Image size 240x240, Head
FLAIR MRI.
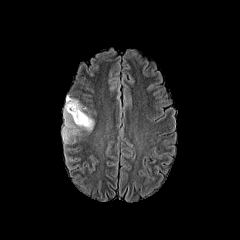
T1-weighted MRI.
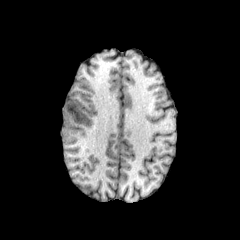
Post-contrast T1-weighted magnetic resonance.
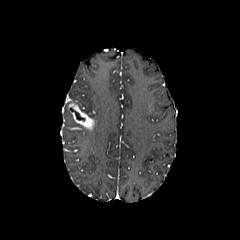
T2-weighted MRI.
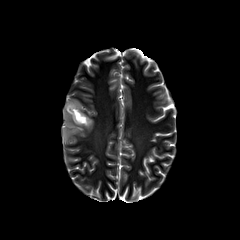
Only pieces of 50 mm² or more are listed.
{"necrotic_tumor_core": ["[69,107,84,120]"], "peritumoral_edema": ["[63,102,81,143]"], "enhancing_tumor": ["[65,96,94,130]"]}